Slice 69/155 | Axial view
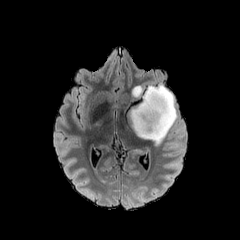
FLAIR MR.
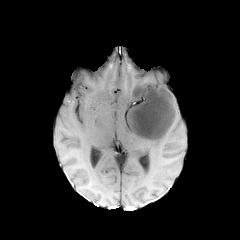
Same slice, T1-weighted magnetic resonance.
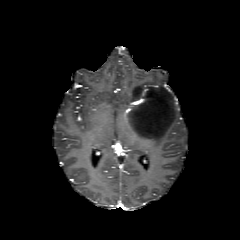
Same slice, post-contrast T1-weighted MRI.
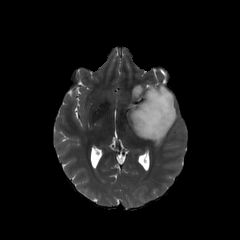
T2-weighted MRI.
{"peritumoral_edema": ["127 84 177 145"]}